240x240
FLAIR MRI.
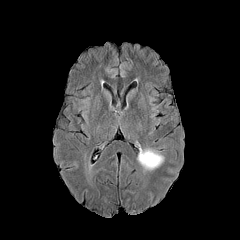
T1-weighted magnetic resonance.
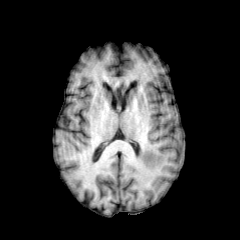
Post-contrast T1-weighted magnetic resonance.
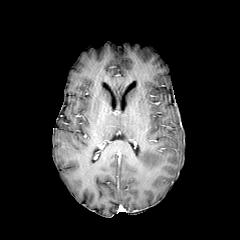
T2-weighted MR.
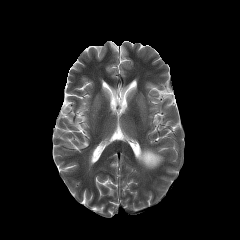
The peritumoral edema is bounded by 138 149 163 169.